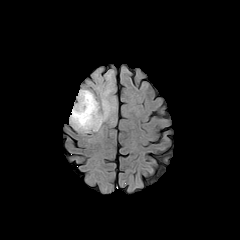
FLAIR MRI.
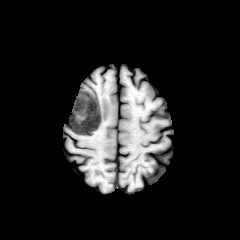
Same slice, T1-weighted MR image.
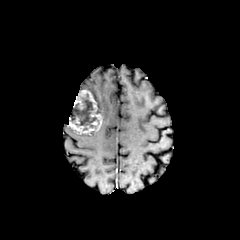
Post-contrast T1-weighted MR image.
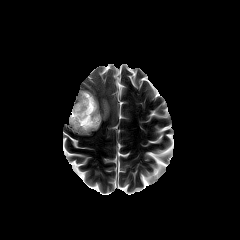
Same slice, T2-weighted MR.
Brain, Axial plane
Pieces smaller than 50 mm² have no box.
necrotic tumor core at 70,94,96,127
peritumoral edema at 90,75,115,123
enhancing tumor at 69,90,102,133